Image covers 240 mm x 240 mm; Brain; 240x240 px
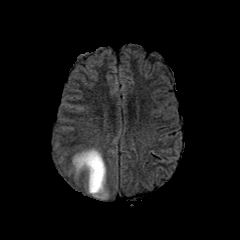
FLAIR MR image.
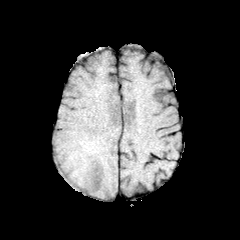
Same slice, T1-weighted MR image.
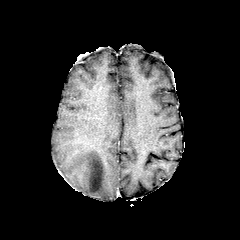
Post-contrast T1-weighted magnetic resonance.
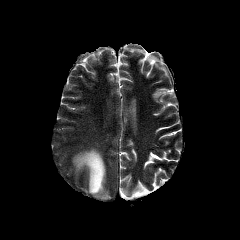
Same slice, T2-weighted MRI.
The peritumoral edema is at <bbox>73, 149, 107, 198</bbox>.